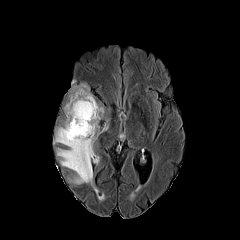
FLAIR MR image.
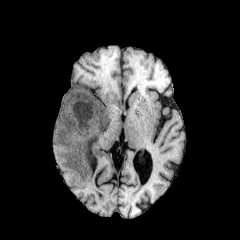
T1-weighted MR of the same slice.
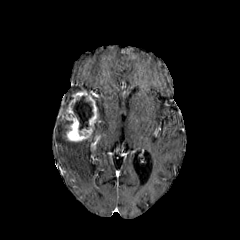
Post-contrast T1-weighted MR image.
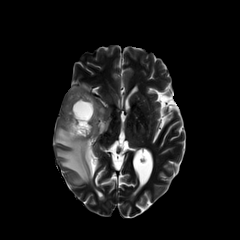
T2-weighted MR of the same slice.
240x240 px
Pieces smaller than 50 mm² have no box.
{"peritumoral_edema": ["(69, 83, 89, 99)", "(54, 102, 104, 185)"], "enhancing_tumor": ["(64, 90, 98, 141)"], "necrotic_tumor_core": ["(73, 96, 93, 130)"]}